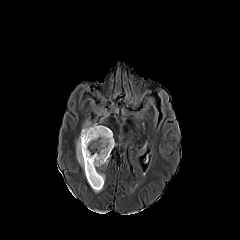
FLAIR MR image.
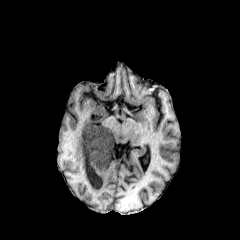
T1-weighted MRI.
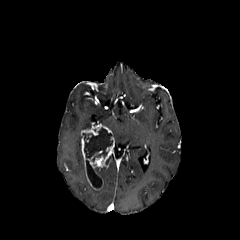
Post-contrast T1-weighted MR image.
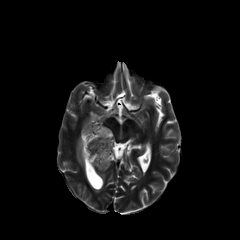
T2-weighted MR.
Axial plane; Head
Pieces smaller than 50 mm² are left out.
necrotic_tumor_core:
  - (x1=86, y1=160, x2=102, y2=188)
  - (x1=83, y1=128, x2=112, y2=161)
peritumoral_edema:
  - (x1=76, y1=134, x2=84, y2=171)
  - (x1=82, y1=119, x2=91, y2=129)
enhancing_tumor:
  - (x1=81, y1=123, x2=114, y2=190)